FLAIR MR.
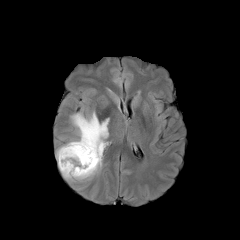
T1-weighted MR image.
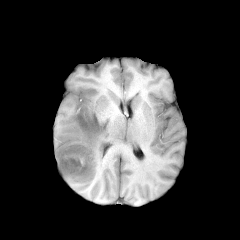
Post-contrast T1-weighted MRI.
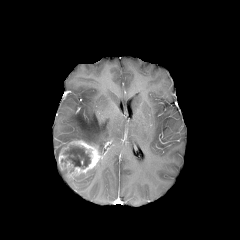
T2-weighted MRI.
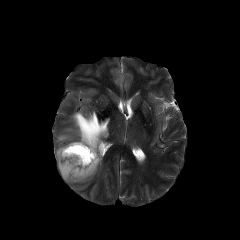
Brain, Image size 240x240
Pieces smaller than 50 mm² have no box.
peritumoral edema: {"x1": 55, "y1": 143, "x2": 67, "y2": 161}, {"x1": 60, "y1": 158, "x2": 102, "y2": 181}, {"x1": 68, "y1": 111, "x2": 109, "y2": 155} | necrotic tumor core: {"x1": 61, "y1": 145, "x2": 90, "y2": 168} | enhancing tumor: {"x1": 58, "y1": 140, "x2": 102, "y2": 178}